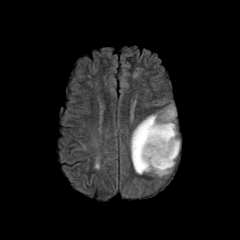
FLAIR MR image.
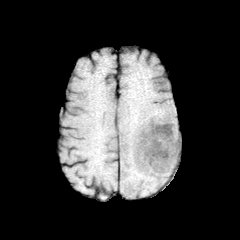
T1-weighted MRI.
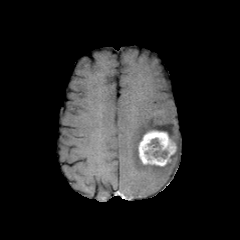
Post-contrast T1-weighted MR of the same slice.
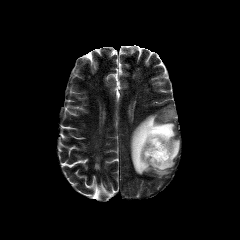
T2-weighted MR image of the same slice.
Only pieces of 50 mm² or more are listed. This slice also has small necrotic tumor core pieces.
enhancing tumor: (x1=138, y1=130, x2=176, y2=166) | peritumoral edema: (x1=130, y1=107, x2=179, y2=176)